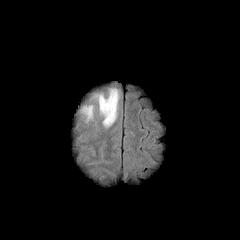
FLAIR MRI.
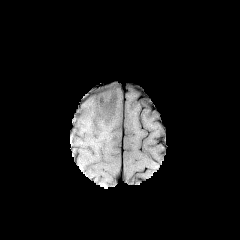
T1-weighted MRI of the same slice.
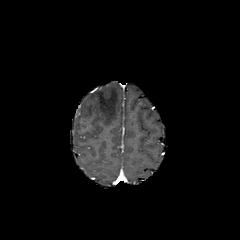
Post-contrast T1-weighted MRI of the same slice.
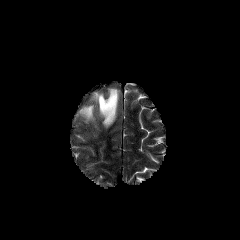
T2-weighted MR image.
Brain, Axial plane
<segmentation>
  <peritumoral_edema>(93,88,119,127), (81,105,94,122)</peritumoral_edema>
</segmentation>